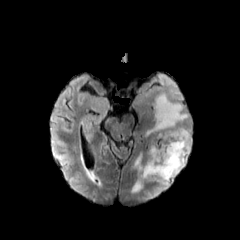
FLAIR MR image.
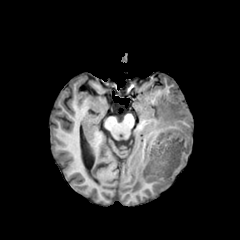
Same slice, T1-weighted MR image.
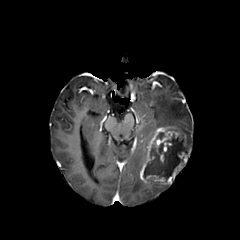
Same slice, post-contrast T1-weighted magnetic resonance.
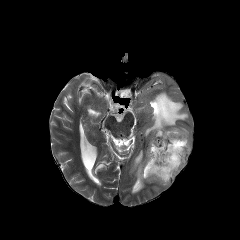
T2-weighted MR image.
Head
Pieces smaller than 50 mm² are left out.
necrotic tumor core = (156, 132, 164, 139), (143, 133, 186, 181)
enhancing tumor = (139, 127, 190, 185)
peritumoral edema = (157, 185, 169, 192), (131, 151, 144, 193), (145, 93, 191, 149)